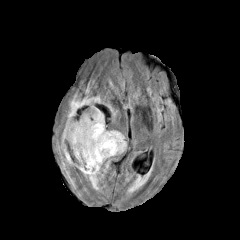
FLAIR MR.
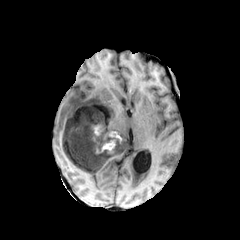
T1-weighted MRI.
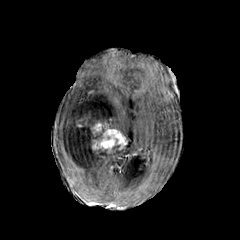
Same slice, post-contrast T1-weighted MR.
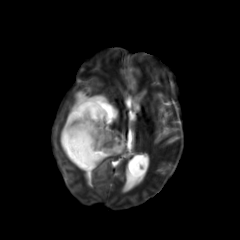
T2-weighted MR.
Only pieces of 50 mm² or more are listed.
peritumoral edema: bbox(61, 87, 126, 189) | enhancing tumor: bbox(92, 127, 126, 153); bbox(91, 121, 103, 135) | necrotic tumor core: bbox(67, 120, 102, 149); bbox(72, 152, 86, 168)